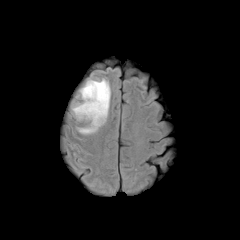
FLAIR MR image.
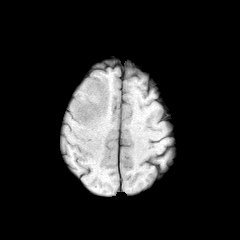
Same slice, T1-weighted MRI.
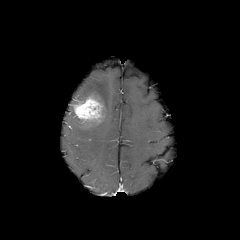
Post-contrast T1-weighted MR.
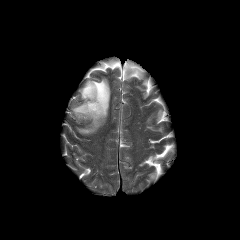
T2-weighted MR.
240x240, Head, Axial plane
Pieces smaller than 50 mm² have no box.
peritumoral edema: region(73, 78, 110, 134) | enhancing tumor: region(73, 96, 104, 122)